Slice 125 of 155
FLAIR MR image.
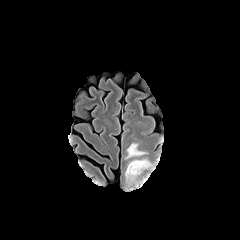
T1-weighted MR image.
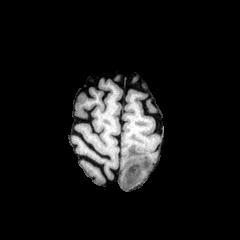
Post-contrast T1-weighted MRI.
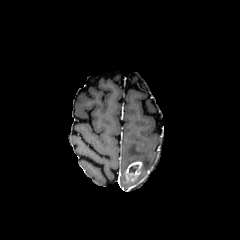
T2-weighted MR.
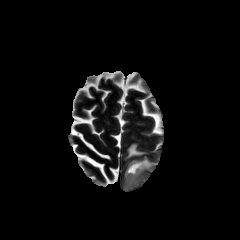
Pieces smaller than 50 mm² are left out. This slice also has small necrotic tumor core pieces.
2 peritumoral edema regions appear at [125,143,147,159], [128,157,153,170]. The enhancing tumor appears at [124,161,144,189].